Slice 79/155, Axial slice
FLAIR MR image.
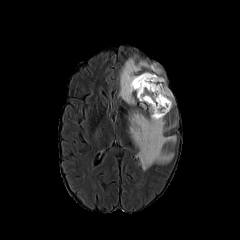
T1-weighted MR image.
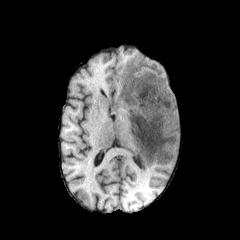
Post-contrast T1-weighted MR image.
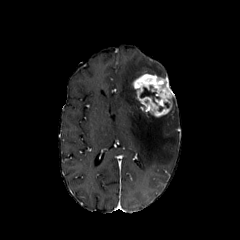
T2-weighted MR.
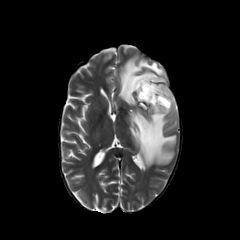
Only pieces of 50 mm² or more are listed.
necrotic tumor core at <box>140,87,155,102</box>
peritumoral edema at <box>128,109,176,170</box>, <box>118,55,164,105</box>
enhancing tumor at <box>132,73,173,117</box>